Slice index 63; 240x240
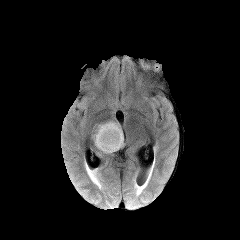
FLAIR MR.
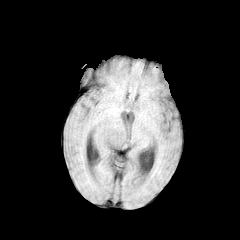
T1-weighted MR of the same slice.
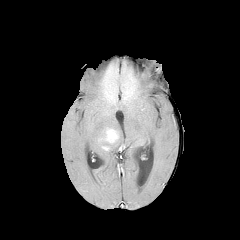
Post-contrast T1-weighted MRI.
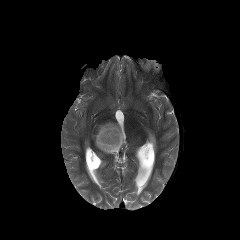
T2-weighted MR image of the same slice.
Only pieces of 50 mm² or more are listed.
enhancing tumor = l=99, t=128, r=118, b=143
peritumoral edema = l=93, t=121, r=124, b=153